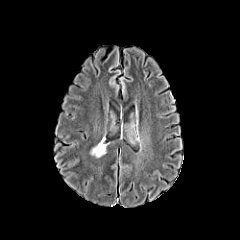
FLAIR MRI.
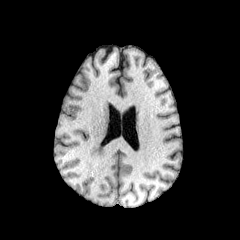
T1-weighted MR image.
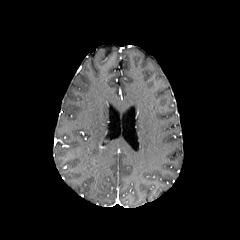
Post-contrast T1-weighted MR.
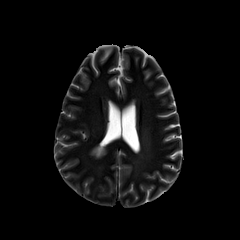
T2-weighted MR.
240x240 px; Axial slice
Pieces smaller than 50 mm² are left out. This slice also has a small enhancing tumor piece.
The peritumoral edema is bounded by 90:139:107:157.